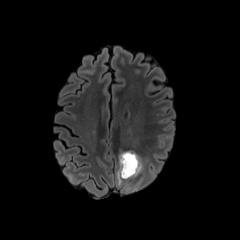
FLAIR MR.
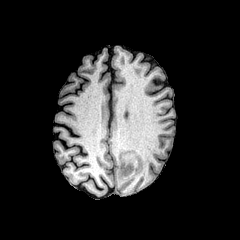
T1-weighted magnetic resonance.
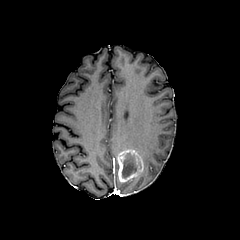
Post-contrast T1-weighted MR image.
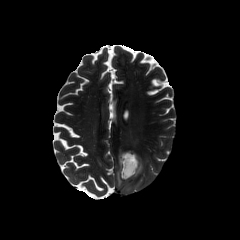
T2-weighted MRI of the same slice.
Axial plane. Brain.
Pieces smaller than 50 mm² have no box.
{
  "necrotic_tumor_core": [
    "<box>122,153,136,178</box>"
  ],
  "enhancing_tumor": [
    "<box>117,150,143,182</box>"
  ],
  "peritumoral_edema": [
    "<box>116,170,127,186</box>"
  ]
}